FLAIR MR.
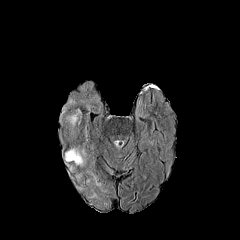
T1-weighted MR image.
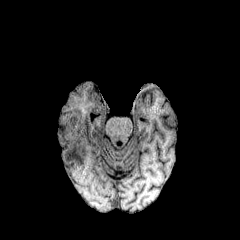
Post-contrast T1-weighted magnetic resonance.
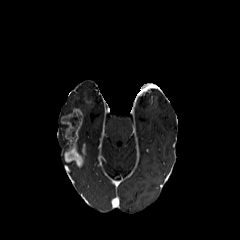
T2-weighted MR.
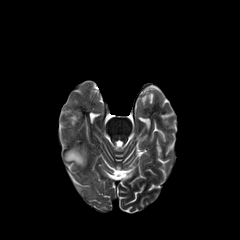
240x240 px | Brain
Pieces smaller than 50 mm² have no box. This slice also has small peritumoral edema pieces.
necrotic tumor core: 63,114,80,128 | enhancing tumor: 61,109,85,165